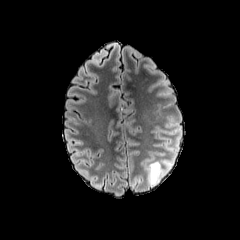
FLAIR magnetic resonance.
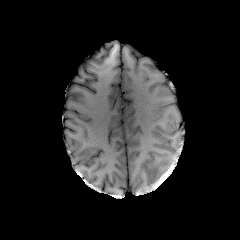
Same slice, T1-weighted MRI.
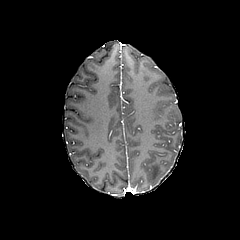
Post-contrast T1-weighted MR of the same slice.
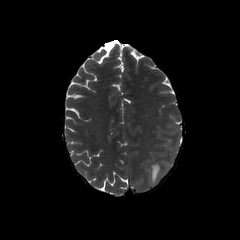
T2-weighted MR image.
Brain
The peritumoral edema is at 146, 159, 164, 186.